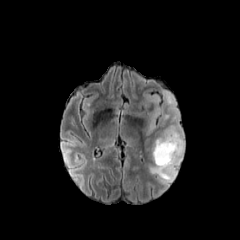
FLAIR MR.
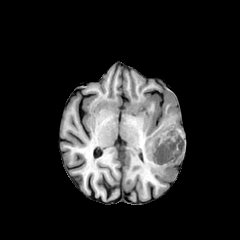
T1-weighted magnetic resonance of the same slice.
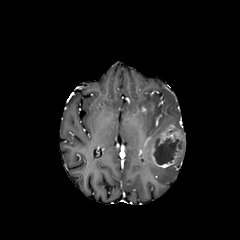
Same slice, post-contrast T1-weighted magnetic resonance.
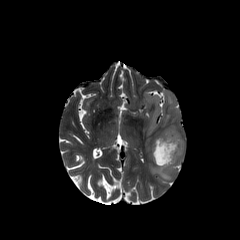
T2-weighted MR of the same slice.
Head; Axial plane
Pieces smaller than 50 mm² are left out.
necrotic tumor core: bounding box 153, 138, 182, 164
peritumoral edema: bounding box 150, 155, 182, 180; 142, 89, 184, 141
enhancing tumor: bounding box 151, 125, 184, 167